FLAIR MR image.
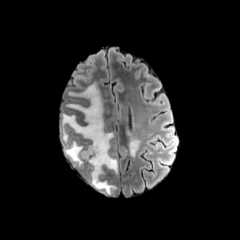
T1-weighted magnetic resonance.
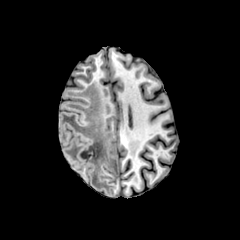
Post-contrast T1-weighted MR.
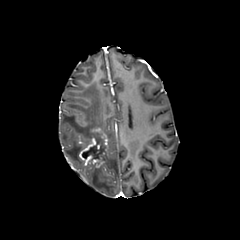
T2-weighted MR.
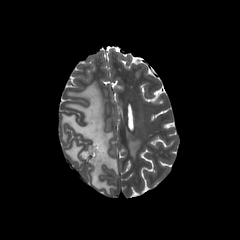
Brain, 240x240 px
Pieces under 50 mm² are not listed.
{
  "peritumoral_edema": [
    "126 131 139 156",
    "62 82 118 194"
  ],
  "enhancing_tumor": [
    "79 128 108 167"
  ],
  "necrotic_tumor_core": [
    "82 132 105 160"
  ]
}